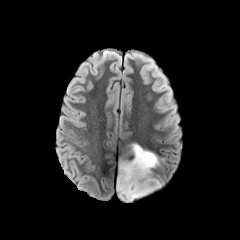
FLAIR magnetic resonance.
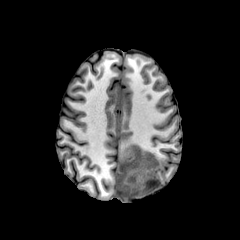
T1-weighted MR image.
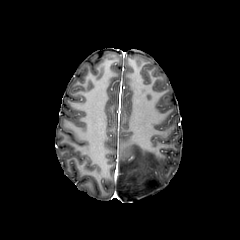
Post-contrast T1-weighted MR.
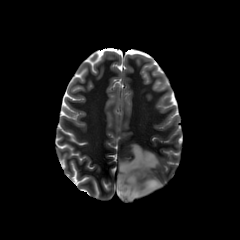
Same slice, T2-weighted MR.
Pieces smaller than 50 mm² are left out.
The largest peritumoral edema region is at left=116, top=143, right=163, bottom=201.